Head
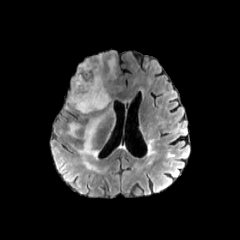
FLAIR magnetic resonance.
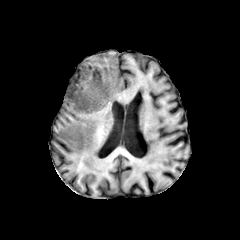
T1-weighted MR.
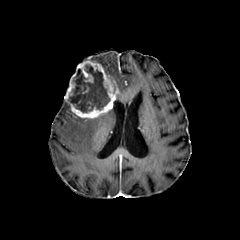
Same slice, post-contrast T1-weighted magnetic resonance.
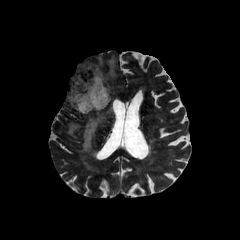
T2-weighted MR.
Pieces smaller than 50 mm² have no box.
necrotic tumor core: l=68, t=64, r=109, b=112
peritumoral edema: l=77, t=114, r=104, b=157; l=67, t=122, r=80, b=137; l=108, t=58, r=114, b=77
enhancing tumor: l=64, t=58, r=118, b=118